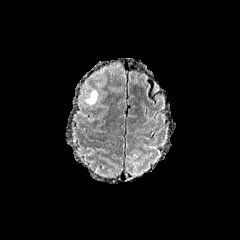
FLAIR MR.
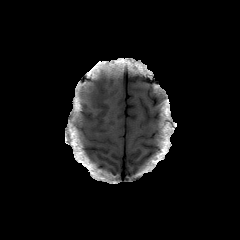
Same slice, T1-weighted magnetic resonance.
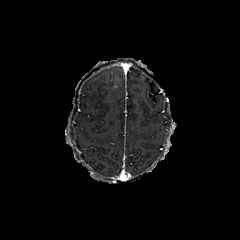
Post-contrast T1-weighted MRI.
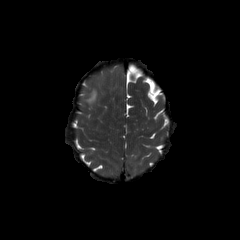
T2-weighted magnetic resonance.
Brain. Axial view.
- peritumoral edema: (86, 90, 97, 103)